Brain
FLAIR MR image.
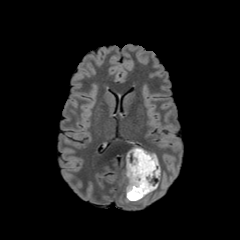
T1-weighted MR image.
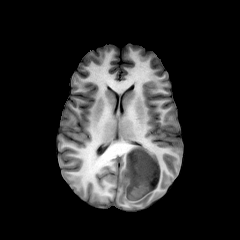
Post-contrast T1-weighted magnetic resonance.
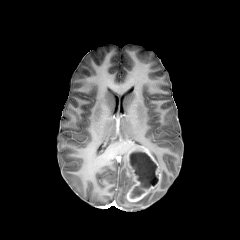
T2-weighted MR image.
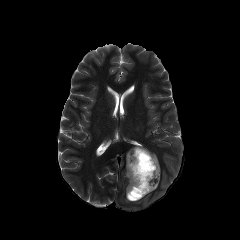
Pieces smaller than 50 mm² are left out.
necrotic tumor core — x1=129, y1=151, x2=158, y2=198
peritumoral edema — x1=126, y1=175, x2=134, y2=195
enhancing tumor — x1=126, y1=146, x2=160, y2=201